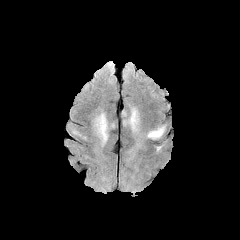
FLAIR MRI.
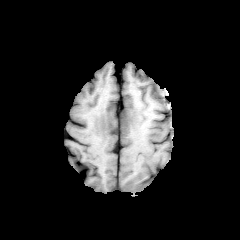
T1-weighted MRI.
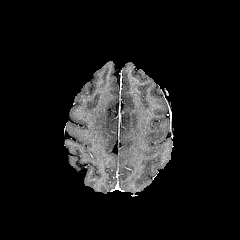
Post-contrast T1-weighted MR image.
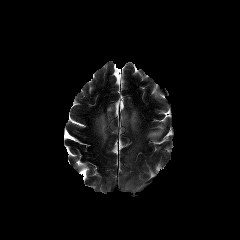
T2-weighted MR image of the same slice.
Axial slice. Brain.
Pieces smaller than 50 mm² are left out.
peritumoral edema: l=147, t=126, r=164, b=139; l=94, t=113, r=108, b=144; l=123, t=107, r=139, b=132